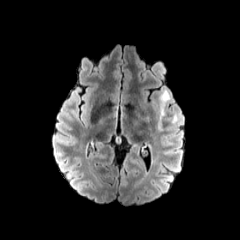
FLAIR magnetic resonance.
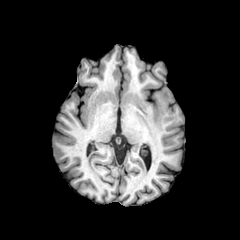
T1-weighted MRI.
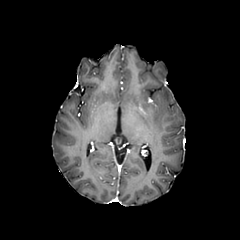
Post-contrast T1-weighted MRI.
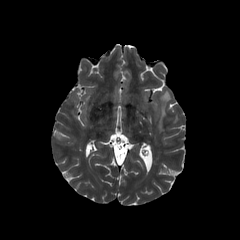
T2-weighted MRI.
Brain, Axial slice
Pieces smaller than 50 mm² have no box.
The largest peritumoral edema region is bounded by (x1=158, y1=89, x2=170, y2=130).